Brain, Axial plane
FLAIR MRI.
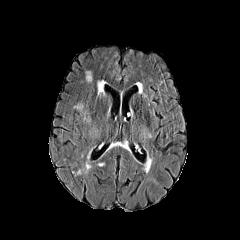
T1-weighted magnetic resonance.
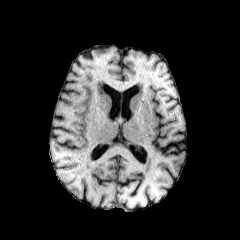
Post-contrast T1-weighted MR image.
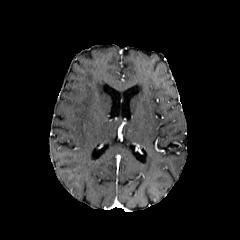
T2-weighted MR.
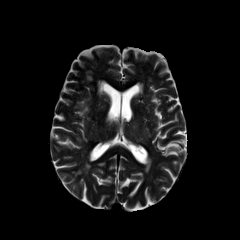
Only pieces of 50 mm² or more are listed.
peritumoral edema = 98,81,105,94